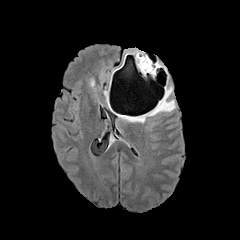
FLAIR MR.
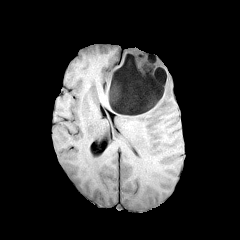
Same slice, T1-weighted MR image.
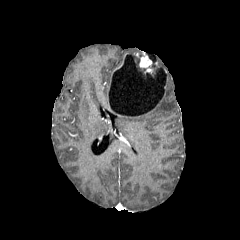
Post-contrast T1-weighted MRI.
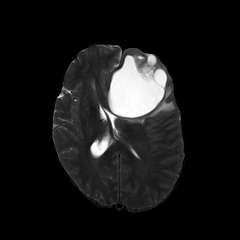
T2-weighted MRI.
Head. Axial slice.
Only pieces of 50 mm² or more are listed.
enhancing tumor: (left=139, top=56, right=152, bottom=71), (left=110, top=53, right=126, bottom=83)
necrotic tumor core: (left=109, top=54, right=167, bottom=117)
peritumoral edema: (left=148, top=88, right=174, bottom=116), (left=129, top=115, right=144, bottom=122)